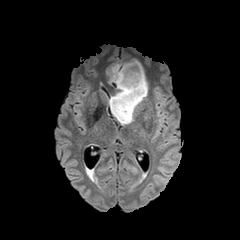
FLAIR MR image.
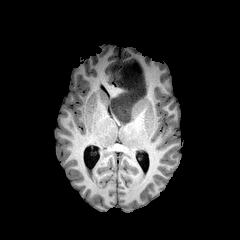
T1-weighted magnetic resonance.
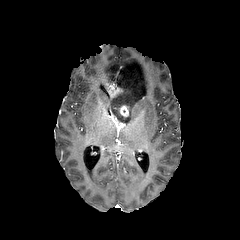
Post-contrast T1-weighted MR.
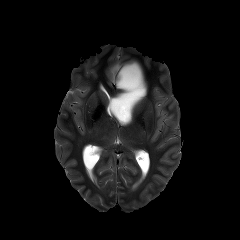
T2-weighted MRI.
Brain
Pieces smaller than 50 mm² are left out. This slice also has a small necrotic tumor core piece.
Segmented structures:
* enhancing tumor: rect(119, 105, 129, 116)
* peritumoral edema: rect(110, 60, 148, 124)